FLAIR MR image.
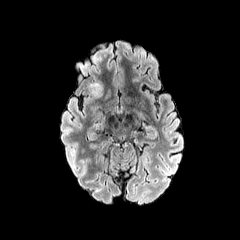
T1-weighted magnetic resonance.
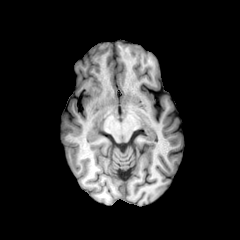
Post-contrast T1-weighted magnetic resonance.
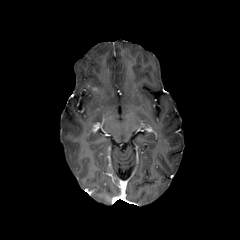
T2-weighted MR image.
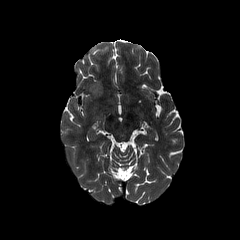
Axial view, Head
Findings:
- peritumoral edema: region(88, 81, 103, 97)
- enhancing tumor: region(91, 86, 101, 94)